Brain
FLAIR MR image.
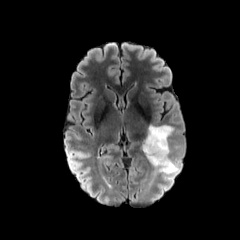
T1-weighted MR.
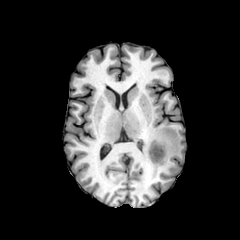
Post-contrast T1-weighted MR.
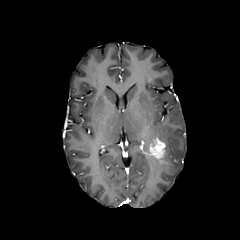
T2-weighted MR.
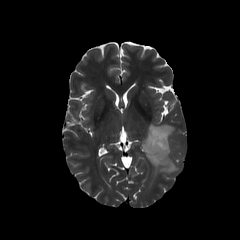
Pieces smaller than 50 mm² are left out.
peritumoral_edema:
  - x1=143 y1=124 x2=179 y2=174
enhancing_tumor:
  - x1=147 y1=138 x2=166 y2=163